FLAIR MRI.
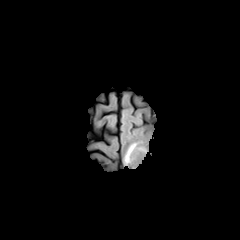
T1-weighted magnetic resonance.
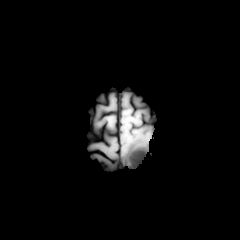
Post-contrast T1-weighted magnetic resonance.
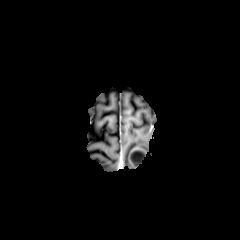
T2-weighted magnetic resonance.
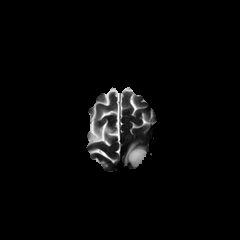
240x240 px
Segmented structures:
* enhancing tumor: region(128, 148, 146, 167)
* necrotic tumor core: region(131, 152, 143, 164)
* peritumoral edema: region(124, 141, 146, 165)